FLAIR MRI.
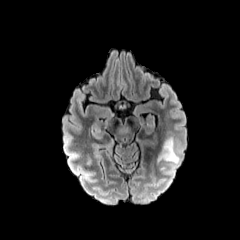
T1-weighted MR.
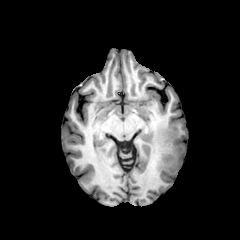
Post-contrast T1-weighted MRI.
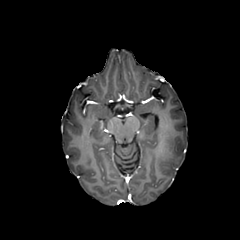
T2-weighted MR image.
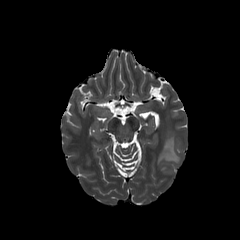
240x240; Brain; Axial plane
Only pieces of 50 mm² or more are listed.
Segmented structures:
- peritumoral edema: 158 137 179 173